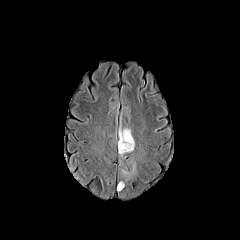
FLAIR MRI.
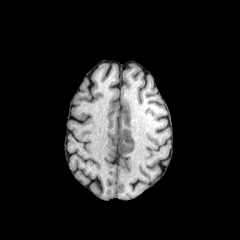
Same slice, T1-weighted MR image.
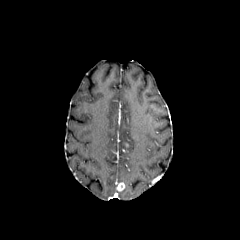
Post-contrast T1-weighted MR image of the same slice.
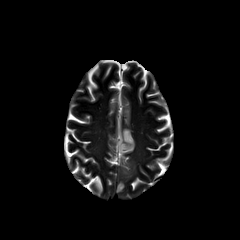
T2-weighted magnetic resonance of the same slice.
Axial slice | Brain
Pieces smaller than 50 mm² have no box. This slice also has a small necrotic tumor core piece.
* peritumoral edema: {"x1": 117, "y1": 127, "x2": 135, "y2": 156}, {"x1": 121, "y1": 161, "x2": 135, "y2": 180}
* enhancing tumor: {"x1": 117, "y1": 182, "x2": 124, "y2": 191}